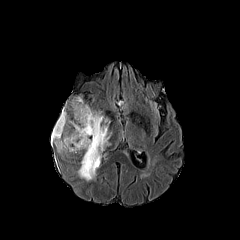
FLAIR magnetic resonance.
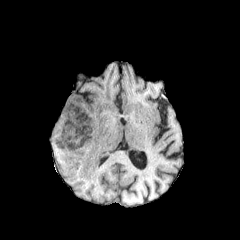
Same slice, T1-weighted MR.
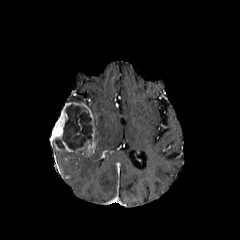
Same slice, post-contrast T1-weighted magnetic resonance.
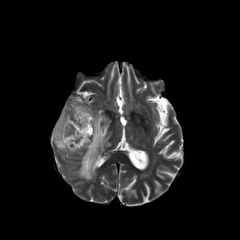
T2-weighted MR of the same slice.
Head | 240x240 px
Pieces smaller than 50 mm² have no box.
The largest enhancing tumor region is at <bbox>50, 102, 96, 156</bbox>. The 2 largest peritumoral edema regions are located at <bbox>72, 96, 83, 102</bbox>, <bbox>78, 113, 110, 180</bbox>. The 2 largest necrotic tumor core regions appear at <bbox>55, 139, 64, 150</bbox>, <bbox>62, 104, 92, 152</bbox>.